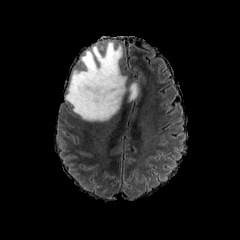
FLAIR MRI.
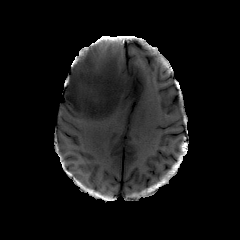
T1-weighted MRI.
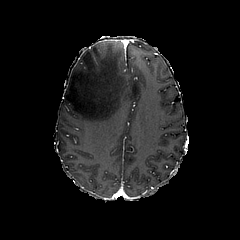
Post-contrast T1-weighted magnetic resonance.
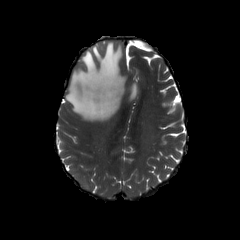
T2-weighted MRI of the same slice.
Head, Axial slice
Findings:
• peritumoral edema: 65:41:137:121